Head; Axial slice; Slice 90 of 155
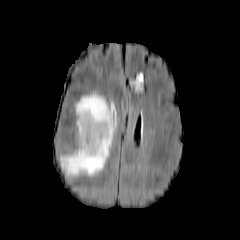
FLAIR MR image.
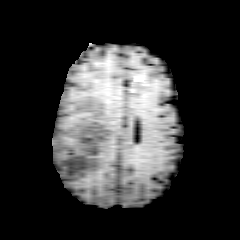
T1-weighted MRI.
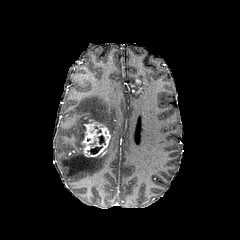
Same slice, post-contrast T1-weighted MR.
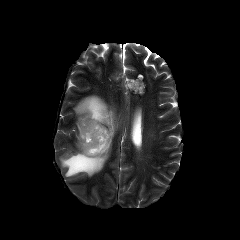
T2-weighted MR image of the same slice.
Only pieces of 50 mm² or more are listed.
The 2 largest necrotic tumor core regions are bounded by 98 135 105 144, 88 146 102 154. The enhancing tumor appears at 80 120 110 157. The peritumoral edema is bounded by 60 94 116 176.